240x240; Brain; Slice index 57
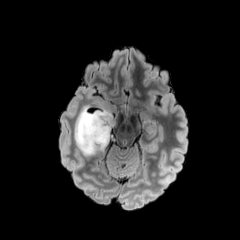
FLAIR MR image.
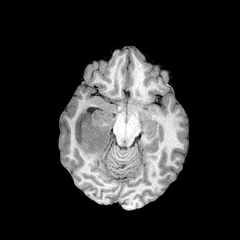
T1-weighted MRI.
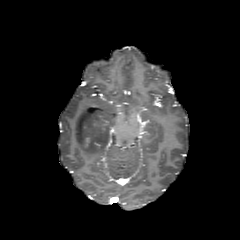
Post-contrast T1-weighted MR image of the same slice.
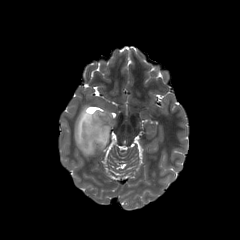
T2-weighted MR.
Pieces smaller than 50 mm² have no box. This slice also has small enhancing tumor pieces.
The peritumoral edema is at [74, 100, 119, 156].